FLAIR MRI.
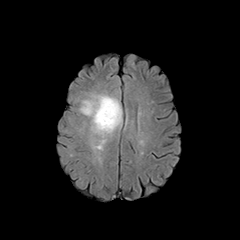
T1-weighted MR.
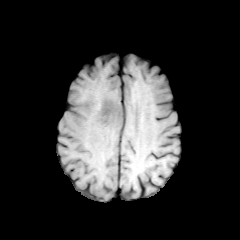
Post-contrast T1-weighted MR image.
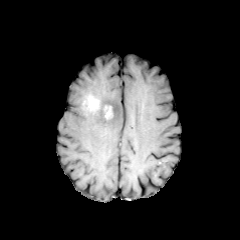
T2-weighted MR.
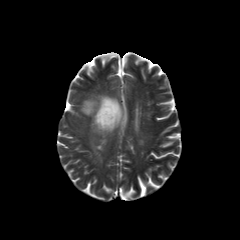
enhancing_tumor:
  - (left=103, top=105, right=112, bottom=119)
  - (left=83, top=97, right=98, bottom=111)
peritumoral_edema:
  - (left=79, top=92, right=122, bottom=149)